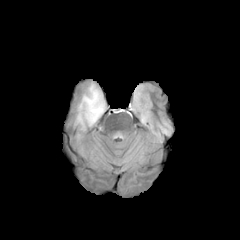
FLAIR MR.
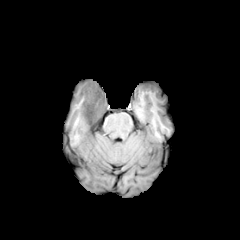
T1-weighted MR image.
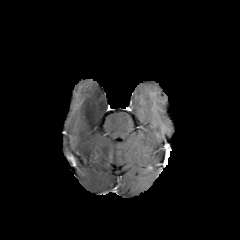
Post-contrast T1-weighted MR.
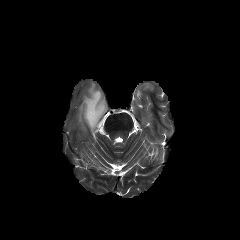
T2-weighted MRI.
Axial slice | Head
The necrotic tumor core is bounded by x1=81, y1=91, x2=104, y2=127. The peritumoral edema appears at x1=76, y1=83, x2=106, y2=130.